Slice index 94. Image size 240x240. Axial slice. Image width 240 mm.
FLAIR MR.
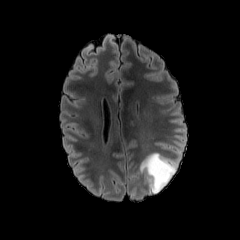
T1-weighted MRI.
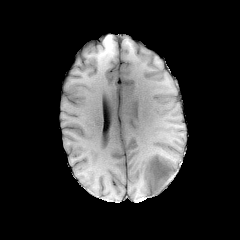
Post-contrast T1-weighted MR.
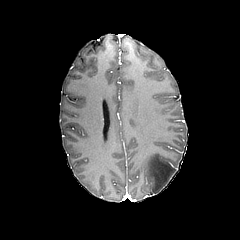
T2-weighted magnetic resonance.
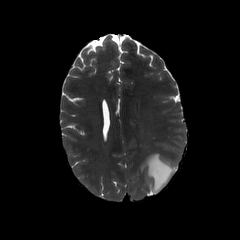
peritumoral edema = [x1=140, y1=152, x2=177, y2=193]